Image size 240x240; Slice index 63; Head
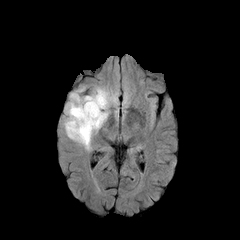
FLAIR magnetic resonance.
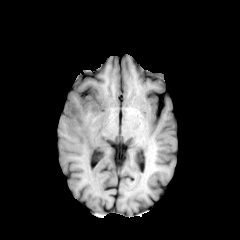
Same slice, T1-weighted MRI.
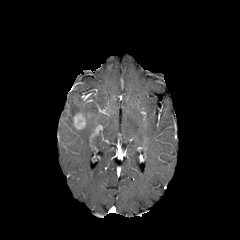
Post-contrast T1-weighted MRI.
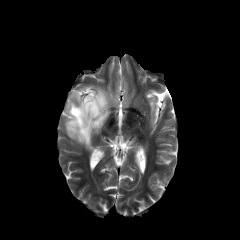
T2-weighted magnetic resonance.
peritumoral edema — [63,86,117,150]
enhancing tumor — [73,112,85,129]